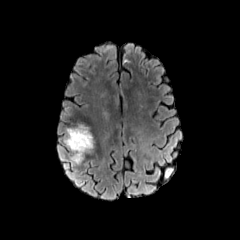
FLAIR MR.
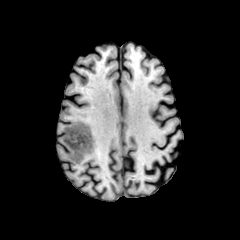
Same slice, T1-weighted magnetic resonance.
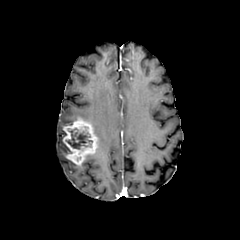
Post-contrast T1-weighted MRI of the same slice.
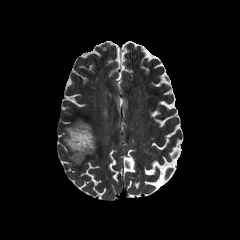
T2-weighted MR of the same slice.
Axial slice | Brain
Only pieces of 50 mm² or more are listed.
<segmentation>
  <necrotic_tumor_core><bbox>66, 128, 92, 149</bbox></necrotic_tumor_core>
  <enhancing_tumor><bbox>63, 119, 97, 164</bbox></enhancing_tumor>
</segmentation>